FLAIR MR image.
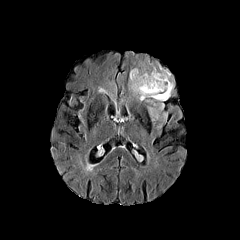
T1-weighted MR image.
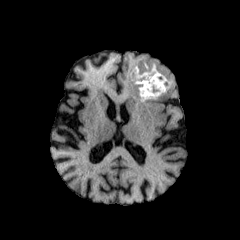
Post-contrast T1-weighted magnetic resonance.
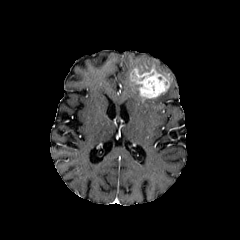
T2-weighted MR image.
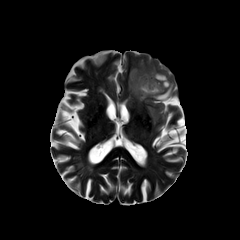
Axial plane
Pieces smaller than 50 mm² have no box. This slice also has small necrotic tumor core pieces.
peritumoral edema at 129 75 148 100, 151 66 173 101, 139 64 156 73, 148 103 164 120
enhancing tumor at 130 68 169 98